FLAIR MR.
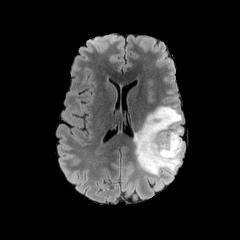
T1-weighted MR image.
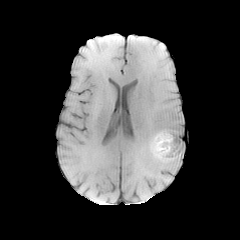
Post-contrast T1-weighted magnetic resonance.
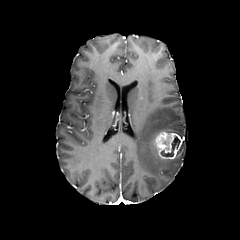
T2-weighted MRI.
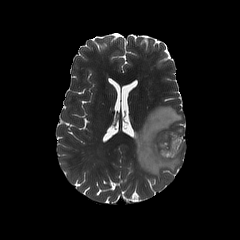
240x240 | Axial slice
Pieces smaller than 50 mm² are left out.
enhancing tumor: (x1=154, y1=131, x2=182, y2=159) | necrotic tumor core: (x1=161, y1=137, x2=180, y2=156) | peritumoral edema: (x1=134, y1=106, x2=184, y2=178)